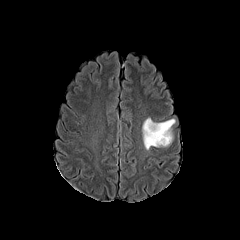
FLAIR MR image.
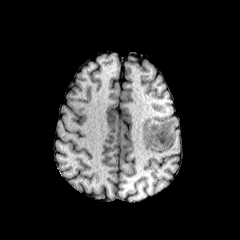
T1-weighted MR.
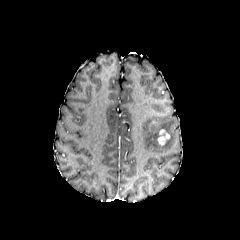
Post-contrast T1-weighted MRI of the same slice.
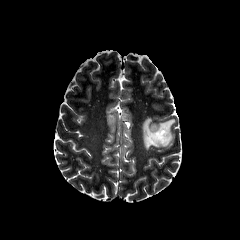
T2-weighted magnetic resonance.
Brain
Annotated regions:
* peritumoral edema: 142,118,175,150
* enhancing tumor: 158,129,170,145